240x240 px | Brain | Axial view | Slice index 77
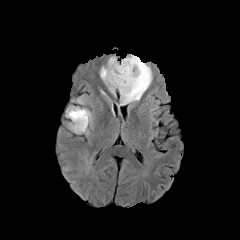
FLAIR MRI.
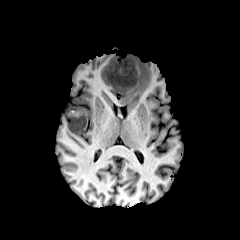
T1-weighted MRI.
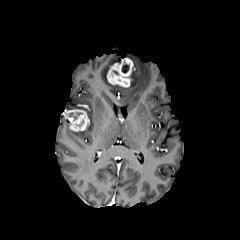
Post-contrast T1-weighted MR image.
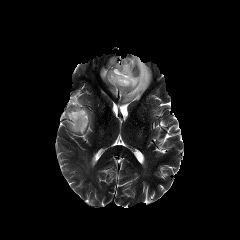
T2-weighted MRI.
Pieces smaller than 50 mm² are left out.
enhancing tumor = {"x1": 65, "y1": 109, "x2": 89, "y2": 131}, {"x1": 107, "y1": 57, "x2": 134, "y2": 87}
necrotic tumor core = {"x1": 122, "y1": 64, "x2": 129, "y2": 73}
peritumoral edema = {"x1": 100, "y1": 55, "x2": 152, "y2": 104}